FLAIR MR.
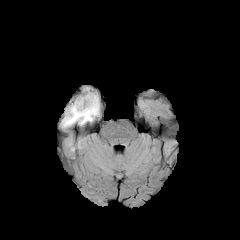
T1-weighted MR image.
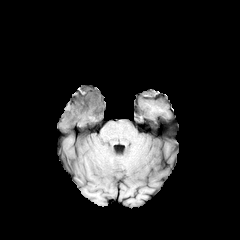
Post-contrast T1-weighted MRI.
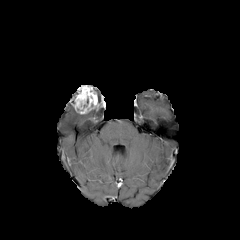
T2-weighted magnetic resonance.
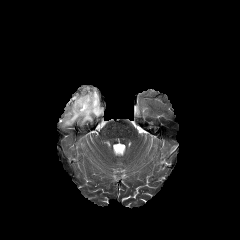
Head.
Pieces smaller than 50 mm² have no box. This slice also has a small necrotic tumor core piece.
The enhancing tumor is located at rect(69, 85, 100, 114). The peritumoral edema appears at rect(62, 105, 99, 127).